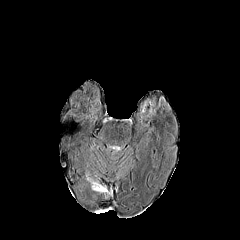
FLAIR MRI.
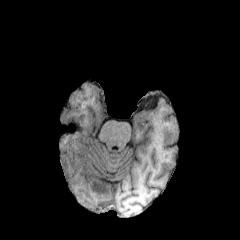
T1-weighted magnetic resonance.
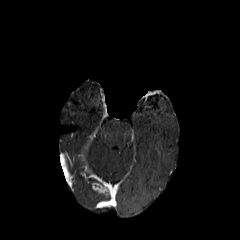
Same slice, post-contrast T1-weighted MR.
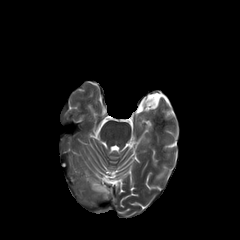
T2-weighted MR of the same slice.
Brain, Axial view, 240x240
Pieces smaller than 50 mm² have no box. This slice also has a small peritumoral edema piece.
enhancing_tumor:
  - {"x1": 92, "y1": 177, "x2": 112, "y2": 196}